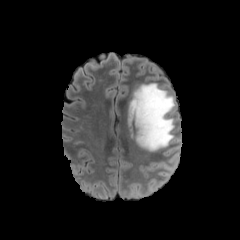
FLAIR MRI.
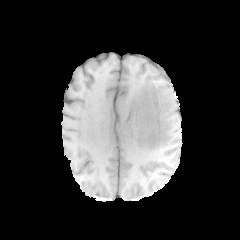
T1-weighted MR.
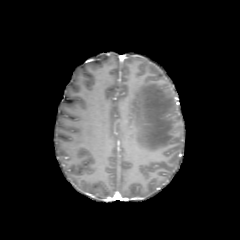
Post-contrast T1-weighted MR.
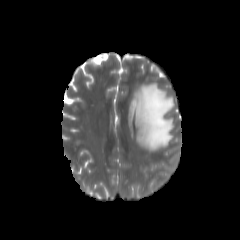
T2-weighted magnetic resonance.
Axial plane; Brain
The peritumoral edema is at 129, 83, 175, 151.